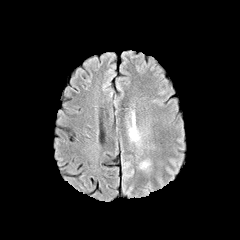
FLAIR MR image.
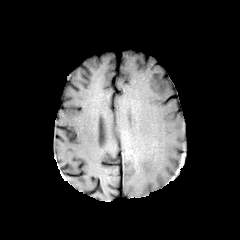
Same slice, T1-weighted MR image.
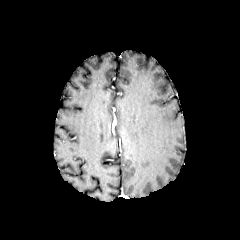
Same slice, post-contrast T1-weighted MR.
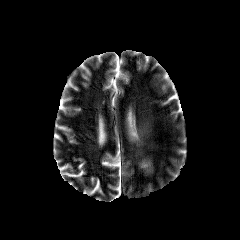
T2-weighted MRI.
240x240 px, Brain
peritumoral_edema:
  - x1=129 y1=126 x2=139 y2=140
  - x1=140 y1=161 x2=149 y2=168